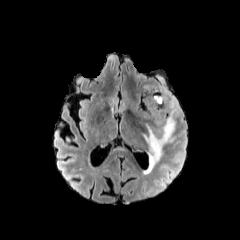
FLAIR MR.
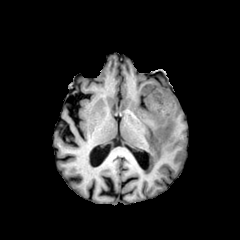
T1-weighted MR.
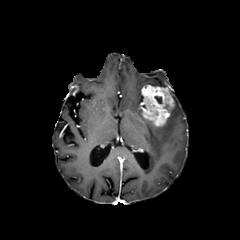
Post-contrast T1-weighted MR image.
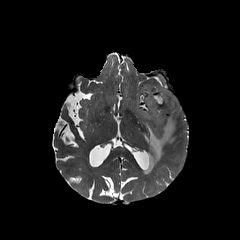
T2-weighted MR image.
Axial slice. 240x240.
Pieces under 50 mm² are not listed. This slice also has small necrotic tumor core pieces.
The enhancing tumor is bounded by region(141, 85, 174, 126). The largest peritumoral edema region is located at region(143, 94, 179, 173).